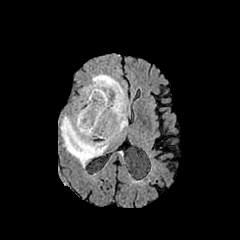
FLAIR MRI.
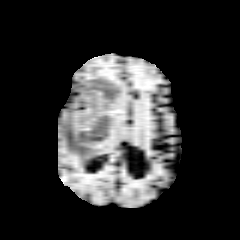
T1-weighted MR image.
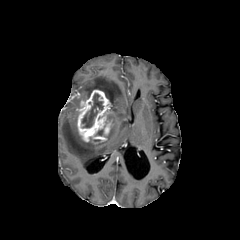
Post-contrast T1-weighted MR of the same slice.
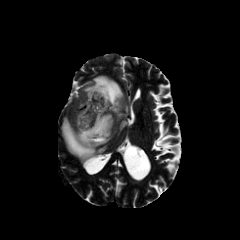
T2-weighted MR of the same slice.
240x240 | Head
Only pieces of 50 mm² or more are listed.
The peritumoral edema is at x1=61 y1=74 x2=130 y2=167. The largest necrotic tumor core region lies within x1=82 y1=94 x2=103 y2=127. The enhancing tumor is at x1=77 y1=90 x2=111 y2=143.